FLAIR MR image.
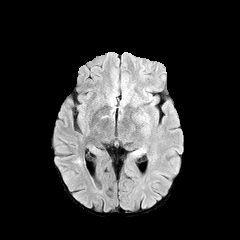
T1-weighted MRI.
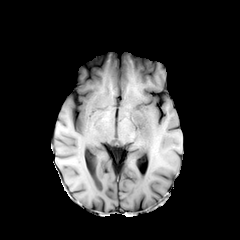
Post-contrast T1-weighted MR image.
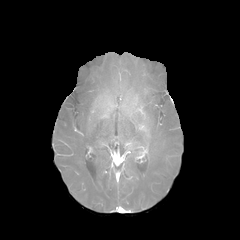
T2-weighted MRI.
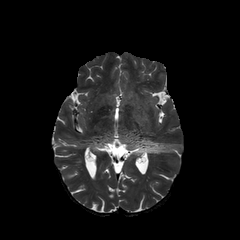
Axial slice. Head.
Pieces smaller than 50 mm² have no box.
Segmented structures:
• enhancing tumor: (left=139, top=121, right=147, bottom=131)
• peritumoral edema: (left=136, top=112, right=149, bottom=134), (left=134, top=141, right=148, bottom=155)